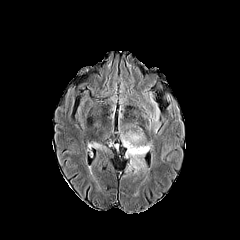
FLAIR magnetic resonance.
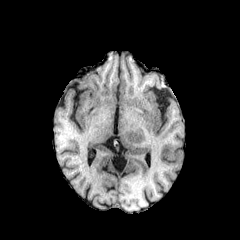
T1-weighted MRI.
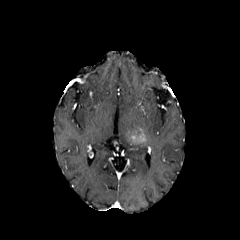
Post-contrast T1-weighted MR image.
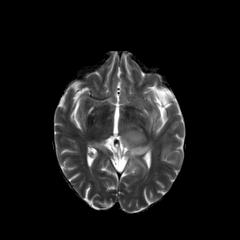
T2-weighted MRI.
Head
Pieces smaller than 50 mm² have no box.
enhancing_tumor:
  - 127, 129, 145, 143
peritumoral_edema:
  - 120, 131, 152, 172
  - 87, 140, 104, 149